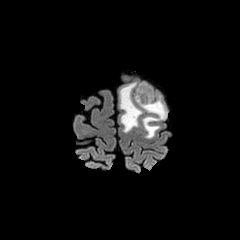
FLAIR MR image.
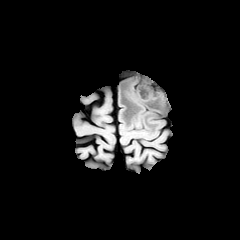
Same slice, T1-weighted MR image.
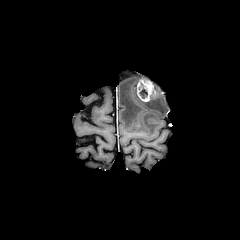
Post-contrast T1-weighted MR of the same slice.
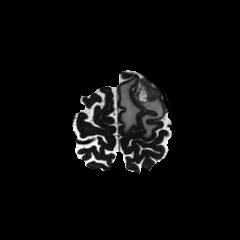
T2-weighted MR.
Axial view. Brain.
The peritumoral edema is at rect(119, 81, 166, 138). The enhancing tumor is located at rect(137, 79, 155, 101). The necrotic tumor core is bounded by rect(138, 83, 147, 98).